Head, Image size 240x240
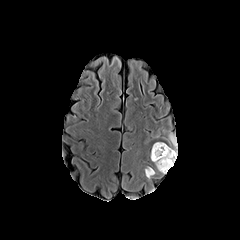
FLAIR MR image.
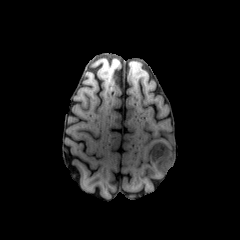
T1-weighted MR image of the same slice.
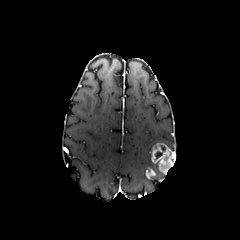
Same slice, post-contrast T1-weighted magnetic resonance.
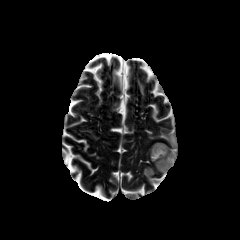
T2-weighted magnetic resonance.
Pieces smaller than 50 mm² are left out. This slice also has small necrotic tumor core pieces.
<segmentation>
  <enhancing_tumor>x1=151, y1=143, x2=175, y2=174; x1=146, y1=167, x2=155, y2=178</enhancing_tumor>
  <peritumoral_edema>x1=168, y1=131, x2=177, y2=157</peritumoral_edema>
</segmentation>